FLAIR MR image.
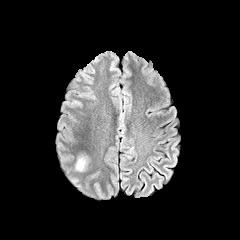
T1-weighted MRI.
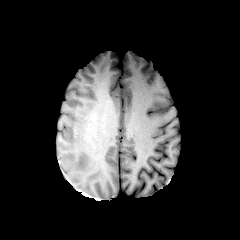
Post-contrast T1-weighted MR.
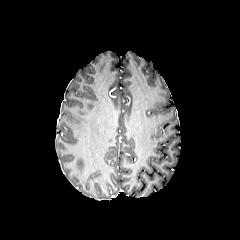
T2-weighted magnetic resonance.
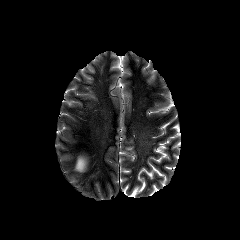
peritumoral edema: box(76, 158, 85, 170)